FLAIR magnetic resonance.
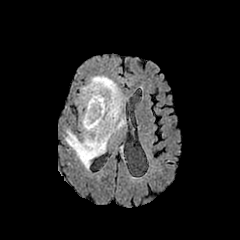
T1-weighted MRI.
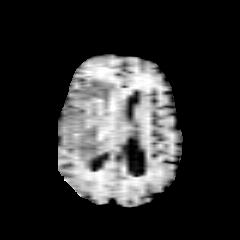
Post-contrast T1-weighted MR.
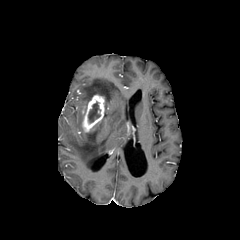
T2-weighted MR.
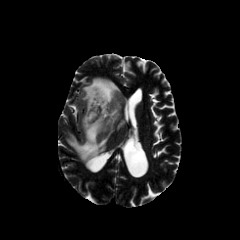
Brain
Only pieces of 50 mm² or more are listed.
The necrotic tumor core is at 88:102:100:122. The enhancing tumor is located at 82:95:105:132. The largest peritumoral edema region is bounded by 65:76:127:168.